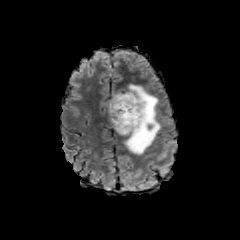
FLAIR MR.
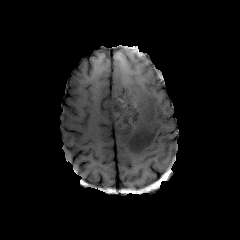
T1-weighted MR.
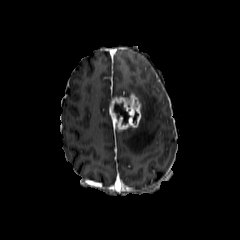
Post-contrast T1-weighted MRI.
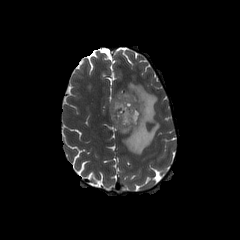
Same slice, T2-weighted magnetic resonance.
Axial slice; Image size 240x240; Brain
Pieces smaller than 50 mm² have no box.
enhancing tumor: box(109, 93, 141, 131)
necrotic tumor core: box(114, 102, 129, 124)
peritumoral edema: box(113, 84, 160, 154)